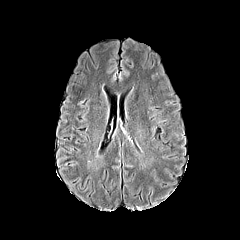
FLAIR MR.
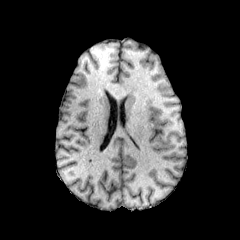
Same slice, T1-weighted magnetic resonance.
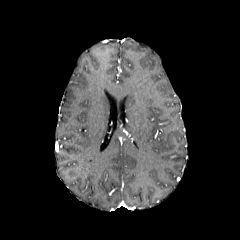
Post-contrast T1-weighted MR image of the same slice.
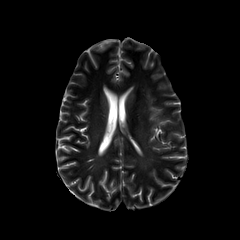
T2-weighted magnetic resonance of the same slice.
peritumoral_edema:
  - <box>153,113,160,132</box>